Brain, Slice index 54, 240x240
FLAIR MR image.
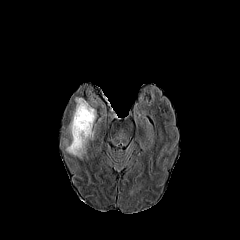
T1-weighted MRI.
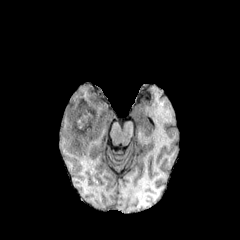
Post-contrast T1-weighted MR image.
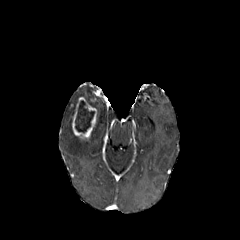
T2-weighted MR image.
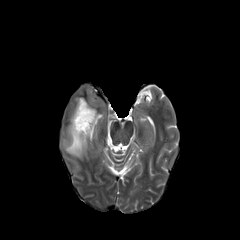
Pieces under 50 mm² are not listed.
peritumoral edema: l=64, t=121, r=95, b=158
enhancing tumor: l=72, t=97, r=96, b=140
necrotic tumor core: l=75, t=100, r=94, b=133